Axial view | Slice 88 of 155
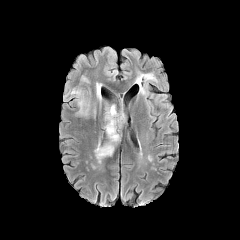
FLAIR MR image.
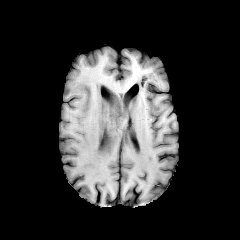
T1-weighted magnetic resonance.
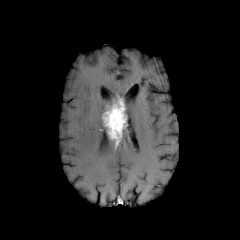
Post-contrast T1-weighted MR.
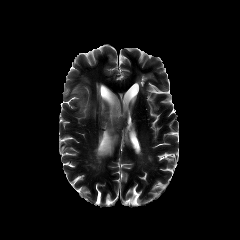
T2-weighted MR.
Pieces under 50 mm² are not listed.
Findings:
* peritumoral edema: box=[95, 139, 114, 162]; box=[80, 75, 89, 83]; box=[71, 89, 95, 117]
* enhancing tumor: box=[102, 97, 126, 144]